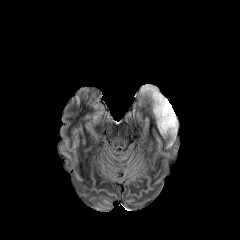
FLAIR magnetic resonance.
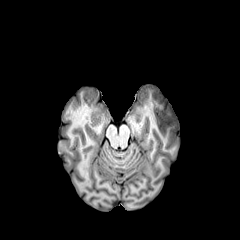
T1-weighted MR image.
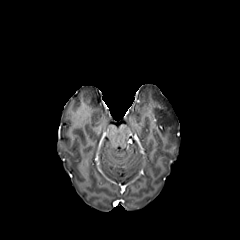
Post-contrast T1-weighted magnetic resonance of the same slice.
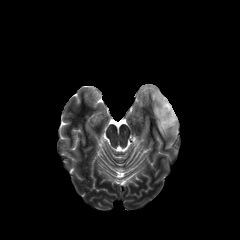
T2-weighted MR.
Axial plane | Brain
peritumoral_edema:
  - <box>147,87,178,136</box>